FLAIR MR.
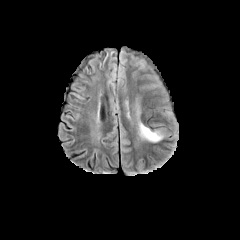
T1-weighted MRI.
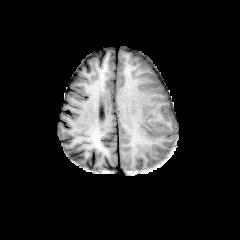
Post-contrast T1-weighted magnetic resonance.
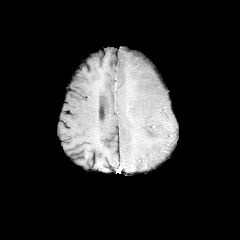
T2-weighted MR.
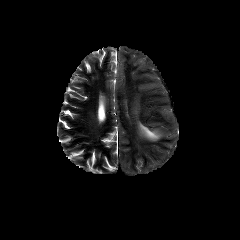
Axial slice. Brain.
<segmentation>
  <peritumoral_edema>l=138, t=122, r=162, b=141</peritumoral_edema>
</segmentation>